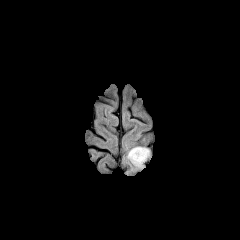
FLAIR MR image.
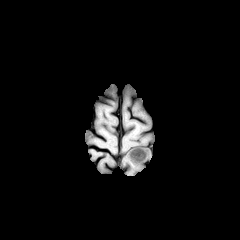
T1-weighted magnetic resonance.
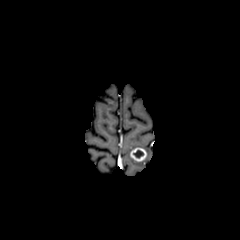
Same slice, post-contrast T1-weighted MRI.
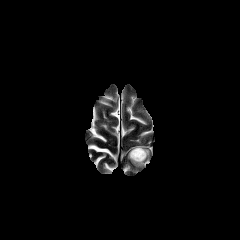
T2-weighted MR.
<segmentation>
  <enhancing_tumor>bbox=[130, 147, 147, 161]</enhancing_tumor>
  <peritumoral_edema>bbox=[121, 147, 152, 175]</peritumoral_edema>
  <necrotic_tumor_core>bbox=[133, 150, 143, 157]</necrotic_tumor_core>
</segmentation>